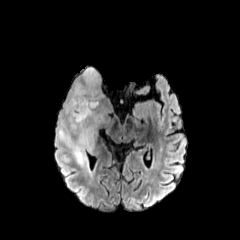
FLAIR MR.
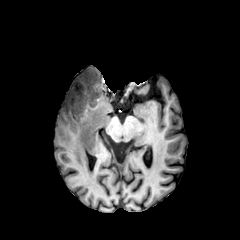
T1-weighted MR image.
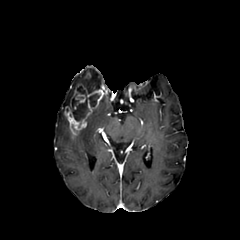
Post-contrast T1-weighted MR.
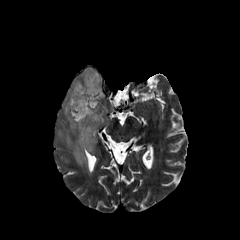
T2-weighted MR.
Head
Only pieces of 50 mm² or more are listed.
The 2 largest necrotic tumor core regions are bounded by (77, 86, 86, 95), (71, 94, 99, 120). The peritumoral edema lies within (57, 67, 102, 166). The largest enhancing tumor region is at (63, 83, 104, 137).